Axial view, Slice 128/155, Image covers 240 mm x 240 mm, Brain
FLAIR MR image.
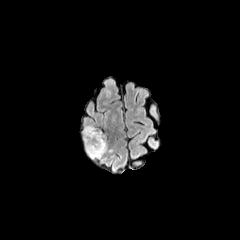
T1-weighted MR image.
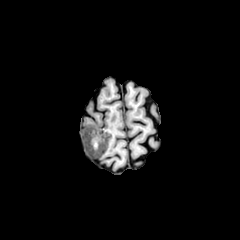
Post-contrast T1-weighted magnetic resonance.
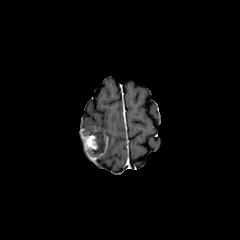
T2-weighted MR image.
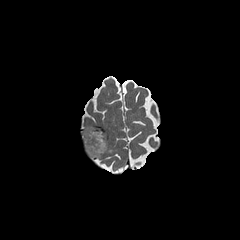
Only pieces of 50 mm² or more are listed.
The enhancing tumor is bounded by 84:130:108:157. The necrotic tumor core lies within 90:132:105:154. The largest peritumoral edema region is bounded by 83:126:94:135.